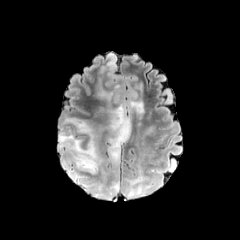
FLAIR MR image.
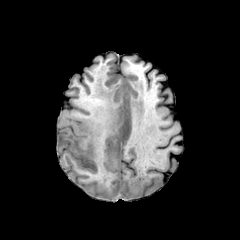
T1-weighted MR of the same slice.
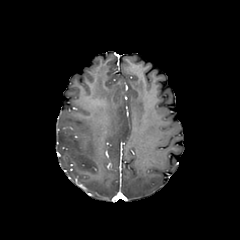
Post-contrast T1-weighted magnetic resonance of the same slice.
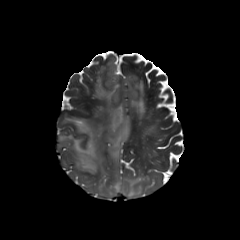
T2-weighted magnetic resonance of the same slice.
Image size 240x240; Axial view
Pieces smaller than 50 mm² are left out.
<segmentation>
  <peritumoral_edema>86,171,152,198; 99,90,113,101; 58,118,106,179; 108,102,130,166; 128,99,143,114</peritumoral_edema>
</segmentation>